Slice index 72
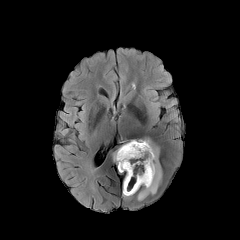
FLAIR magnetic resonance.
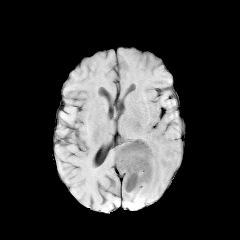
T1-weighted MR of the same slice.
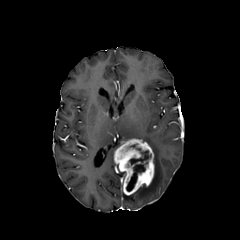
Post-contrast T1-weighted magnetic resonance.
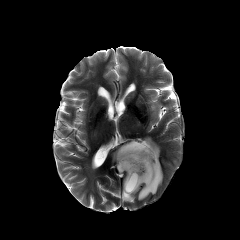
T2-weighted MRI.
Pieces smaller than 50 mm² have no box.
Findings:
• enhancing tumor: box(114, 139, 154, 195)
• peritumoral edema: box(122, 192, 133, 200); box(137, 138, 162, 200)
• necrotic tumor core: box(126, 148, 150, 191)